FLAIR MR image.
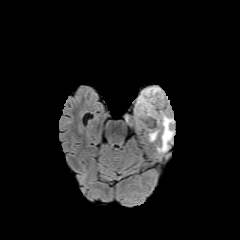
T1-weighted magnetic resonance.
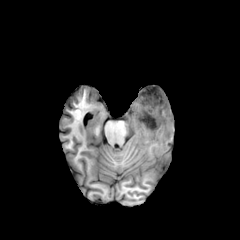
Post-contrast T1-weighted MR.
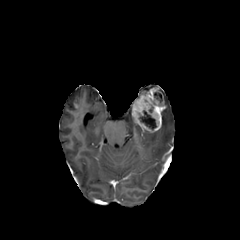
T2-weighted MRI.
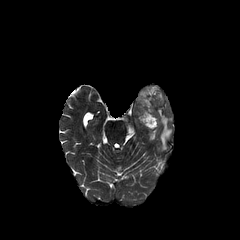
Head.
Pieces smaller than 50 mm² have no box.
The 2 largest peritumoral edema regions appear at (x1=148, y1=130, x2=158, y2=141), (x1=157, y1=106, x2=173, y2=153). The 2 largest necrotic tumor core regions are located at (x1=139, y1=111, x2=156, y2=129), (x1=154, y1=92, x2=162, y2=102). The enhancing tumor is located at (x1=132, y1=86, x2=166, y2=132).